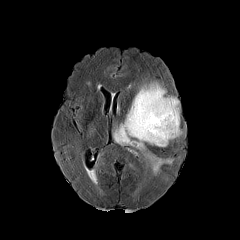
FLAIR MR.
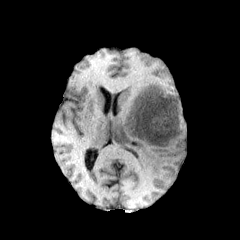
T1-weighted MR of the same slice.
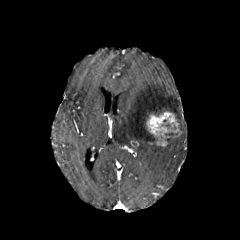
Post-contrast T1-weighted MR image.
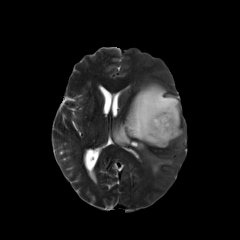
T2-weighted MR image of the same slice.
Axial slice
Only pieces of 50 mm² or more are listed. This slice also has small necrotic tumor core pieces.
enhancing tumor: bbox=[130, 140, 139, 146]; bbox=[145, 109, 181, 146]
peritumoral edema: bbox=[168, 125, 185, 144]; bbox=[113, 81, 180, 174]